Slice 69/155.
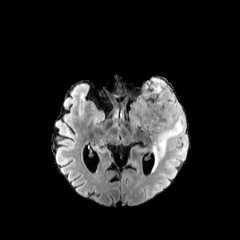
FLAIR MRI.
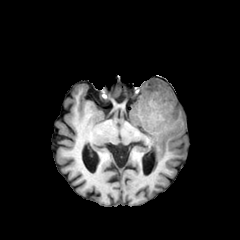
Same slice, T1-weighted magnetic resonance.
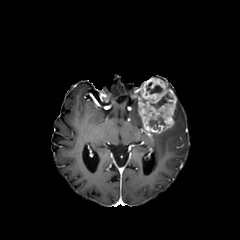
Post-contrast T1-weighted magnetic resonance.
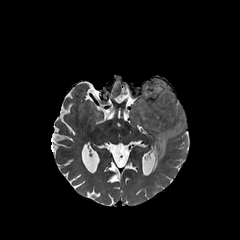
Same slice, T2-weighted MRI.
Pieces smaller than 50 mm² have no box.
The largest peritumoral edema region is bounded by box(152, 102, 185, 171). The 3 largest necrotic tumor core regions are bounded by box(150, 94, 172, 108); box(147, 82, 162, 93); box(149, 116, 164, 129). The largest enhancing tumor region lies within box(138, 78, 176, 133).